Axial view | Slice 82/155 | 240x240 px | Brain | Image width 240 mm
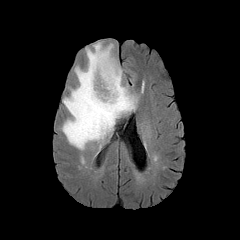
FLAIR MR image.
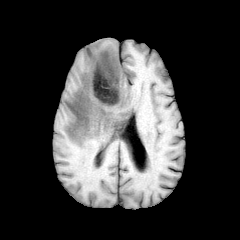
T1-weighted MRI of the same slice.
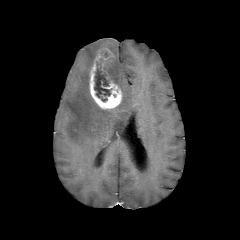
Post-contrast T1-weighted magnetic resonance.
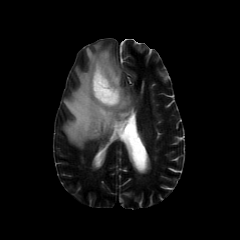
T2-weighted MR image.
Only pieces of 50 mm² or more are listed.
{"enhancing_tumor": ["<bbox>89, 49, 122, 109</bbox>"], "peritumoral_edema": ["<bbox>62, 42, 137, 149</bbox>"], "necrotic_tumor_core": ["<bbox>94, 64, 110, 101</bbox>"]}